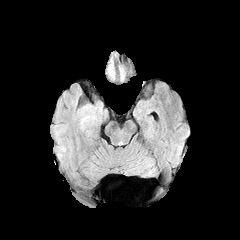
FLAIR MR image.
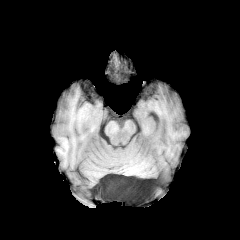
T1-weighted MR.
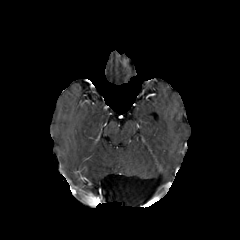
Post-contrast T1-weighted MR image of the same slice.
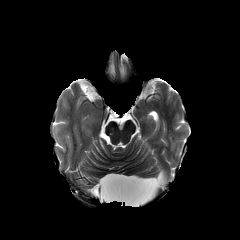
T2-weighted MR.
Head.
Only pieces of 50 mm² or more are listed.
peritumoral edema: (108,64,114,75)